FLAIR MRI.
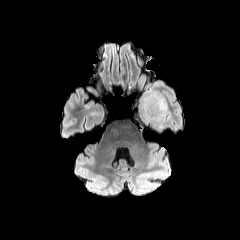
T1-weighted MR image.
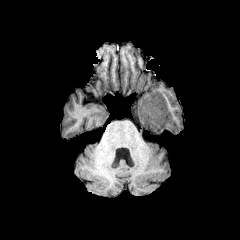
Post-contrast T1-weighted MR image.
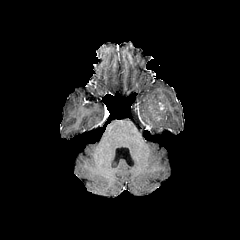
T2-weighted MR image.
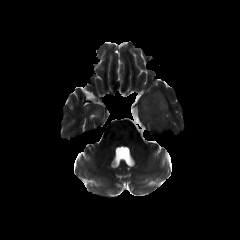
Axial view. Image size 240x240. Brain.
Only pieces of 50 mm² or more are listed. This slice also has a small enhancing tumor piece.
Annotated regions:
• peritumoral edema: x1=137 y1=90 x2=167 y2=128